FLAIR MRI.
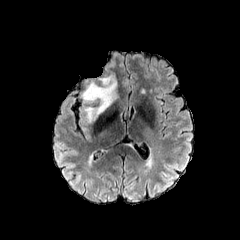
T1-weighted MR.
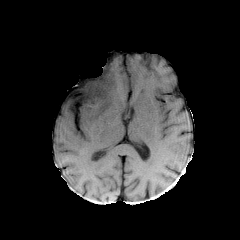
Post-contrast T1-weighted MRI.
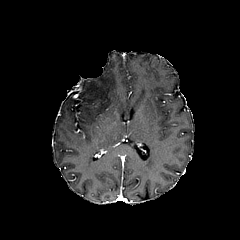
T2-weighted magnetic resonance.
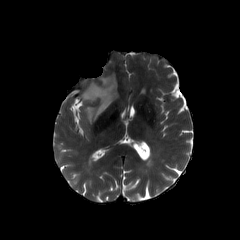
Head.
peritumoral edema: [81,75,117,122]